FLAIR MRI.
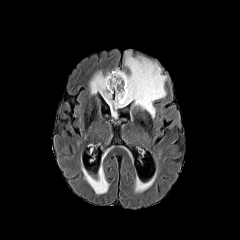
T1-weighted MRI.
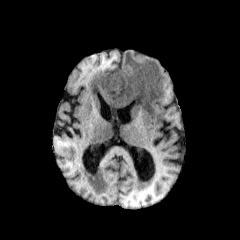
Post-contrast T1-weighted MRI.
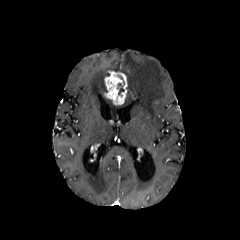
T2-weighted MRI.
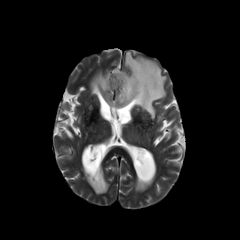
Image size 240x240
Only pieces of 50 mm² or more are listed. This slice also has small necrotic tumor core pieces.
enhancing tumor = 104, 71, 127, 105
peritumoral edema = 89, 51, 166, 118; 83, 166, 109, 194